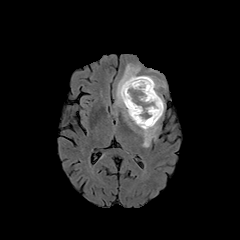
FLAIR MR image.
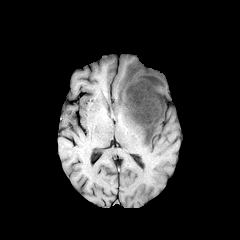
T1-weighted magnetic resonance.
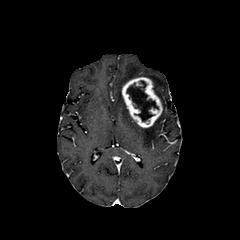
Post-contrast T1-weighted MR image.
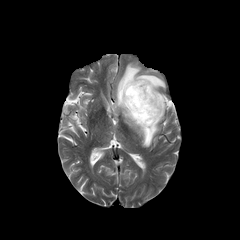
Same slice, T2-weighted magnetic resonance.
Image size 240x240, Brain, Axial slice
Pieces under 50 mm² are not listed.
peritumoral edema at 116, 63, 165, 147
enhancing tumor at 121, 76, 162, 128
necrotic tumor core at 126, 81, 158, 121